FLAIR MR.
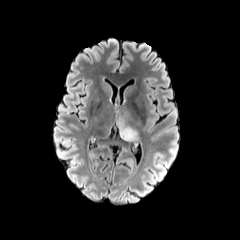
T1-weighted magnetic resonance.
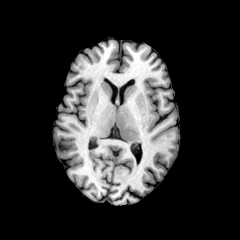
Post-contrast T1-weighted magnetic resonance.
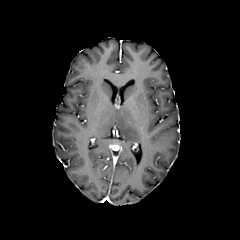
T2-weighted MR.
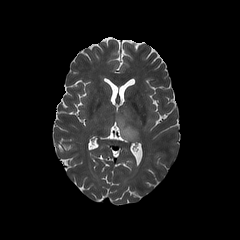
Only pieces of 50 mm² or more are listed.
peritumoral_edema:
  - {"x1": 116, "y1": 107, "x2": 137, "y2": 141}
  - {"x1": 146, "y1": 108, "x2": 153, "y2": 130}